Slice 57 of 155; Brain
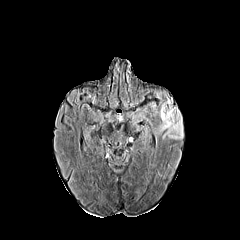
FLAIR MR image.
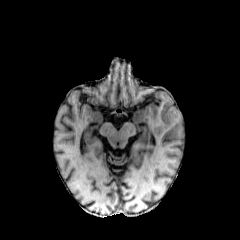
T1-weighted magnetic resonance.
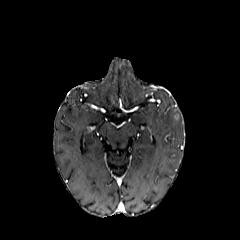
Post-contrast T1-weighted magnetic resonance.
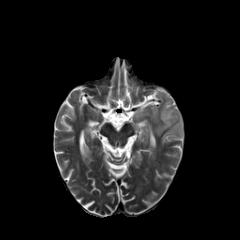
T2-weighted MR image of the same slice.
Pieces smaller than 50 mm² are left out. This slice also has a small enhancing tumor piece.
{
  "peritumoral_edema": [
    "x1=153 y1=98 x2=182 y2=139"
  ]
}